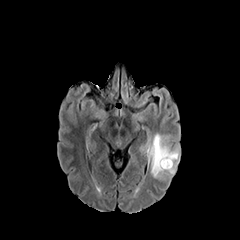
FLAIR magnetic resonance.
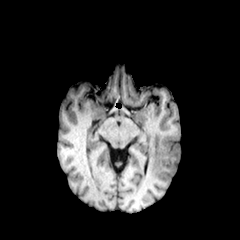
T1-weighted MR image.
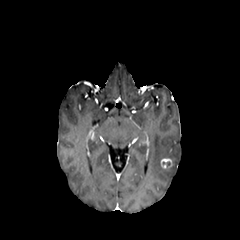
Same slice, post-contrast T1-weighted magnetic resonance.
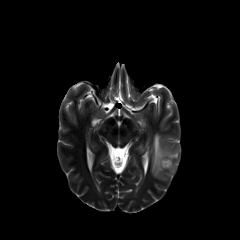
T2-weighted magnetic resonance of the same slice.
Axial view, Brain
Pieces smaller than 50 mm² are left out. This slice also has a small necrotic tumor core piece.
The enhancing tumor is located at box(160, 158, 172, 168). The peritumoral edema appears at box(151, 133, 180, 180).